FLAIR MRI.
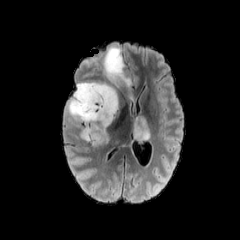
T1-weighted magnetic resonance.
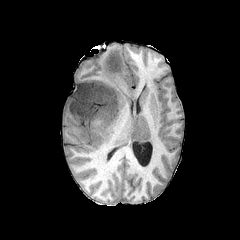
Post-contrast T1-weighted MR.
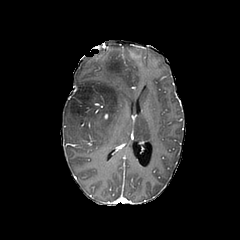
T2-weighted magnetic resonance.
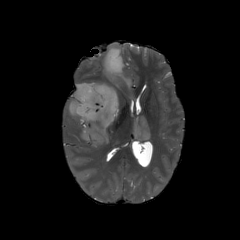
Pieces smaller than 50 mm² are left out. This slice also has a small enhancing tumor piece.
peritumoral edema at x1=100 y1=46 x2=138 y2=101, x1=130 y1=115 x2=151 y2=142, x1=65 y1=80 x2=120 y2=150